FLAIR MR.
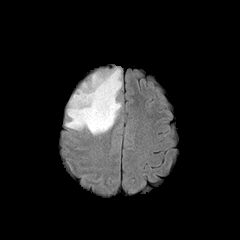
T1-weighted MRI.
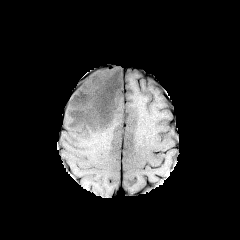
Post-contrast T1-weighted MRI.
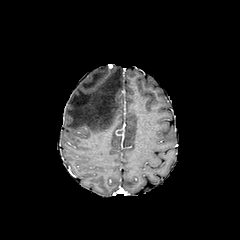
T2-weighted MR.
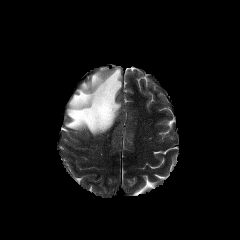
Head
Annotated regions:
* peritumoral edema: (65, 67, 121, 135)